Brain. Slice index 86. 240x240.
FLAIR MRI.
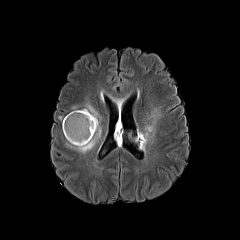
T1-weighted MR image.
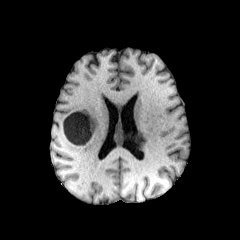
Post-contrast T1-weighted MRI.
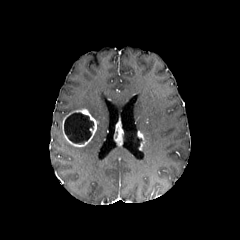
T2-weighted MR.
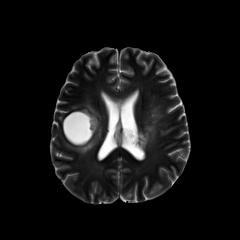
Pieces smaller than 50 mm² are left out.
{"enhancing_tumor": ["region(62, 108, 98, 147)", "region(137, 131, 145, 149)", "region(114, 122, 123, 145)"], "peritumoral_edema": ["region(141, 110, 160, 150)", "region(66, 103, 101, 153)"], "necrotic_tumor_core": ["region(64, 112, 93, 143)"]}